Image covers 240 mm x 240 mm. Image size 240x240. Brain. Slice index 81.
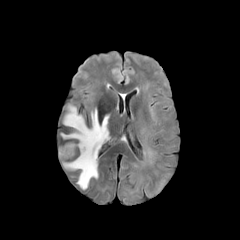
FLAIR MRI.
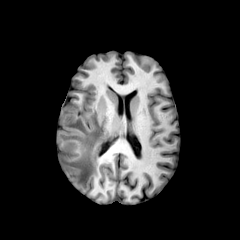
T1-weighted MR image.
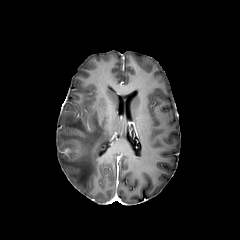
Same slice, post-contrast T1-weighted MR image.
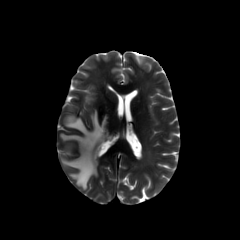
T2-weighted MRI.
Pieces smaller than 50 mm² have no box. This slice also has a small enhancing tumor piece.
The largest peritumoral edema region appears at 61, 106, 109, 189.